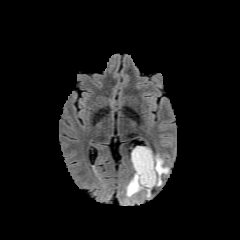
FLAIR MRI.
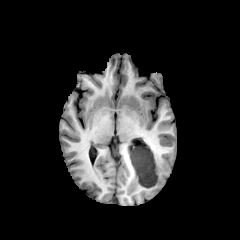
Same slice, T1-weighted MR.
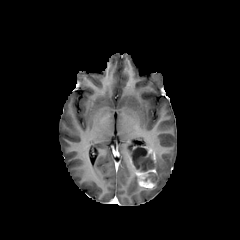
Post-contrast T1-weighted MR of the same slice.
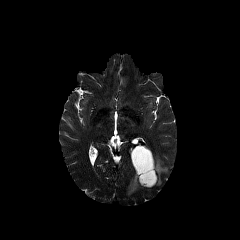
T2-weighted magnetic resonance of the same slice.
240x240 px
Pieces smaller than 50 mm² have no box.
necrotic tumor core: bounding box 145,173,156,182; 131,146,155,171
peritumoral edema: bounding box 155,155,168,185; 126,174,143,197
enhancing tumor: bounding box 130,153,156,188; 141,146,155,162